FLAIR MR.
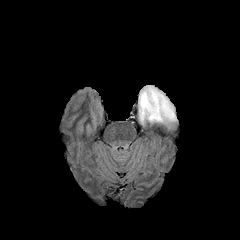
T1-weighted MR.
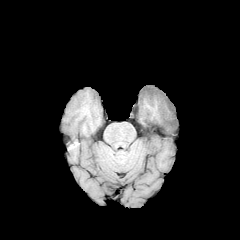
Post-contrast T1-weighted MR image.
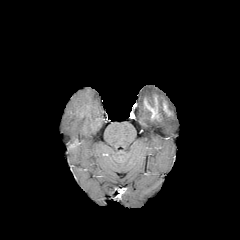
T2-weighted MR.
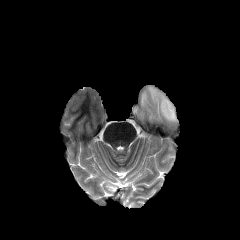
Axial plane
The peritumoral edema is bounded by 138 85 177 126. The enhancing tumor appears at 144 96 171 119.